FLAIR MR.
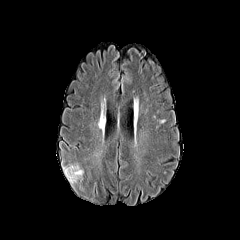
T1-weighted MR image.
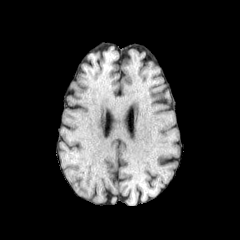
Post-contrast T1-weighted MR image.
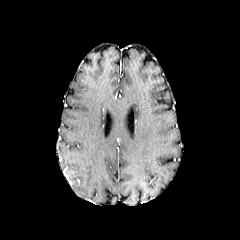
T2-weighted MR.
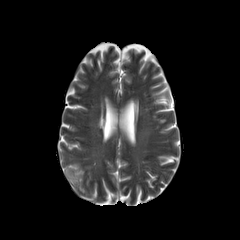
240x240.
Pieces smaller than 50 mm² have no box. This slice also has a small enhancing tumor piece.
The peritumoral edema is at x1=63 y1=163 x2=83 y2=183.